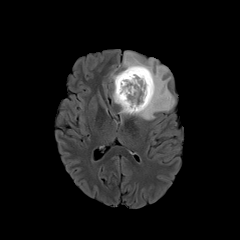
FLAIR MR image.
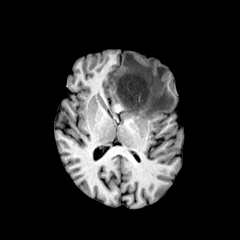
T1-weighted MR image.
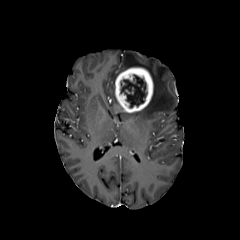
Post-contrast T1-weighted magnetic resonance.
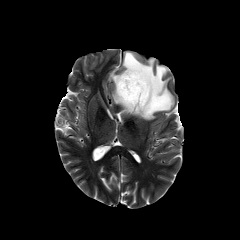
T2-weighted MR image.
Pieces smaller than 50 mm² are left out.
necrotic tumor core — x1=120, y1=75, x2=147, y2=107
peritumoral edema — x1=111, y1=51, x2=174, y2=120
enhancing tumor — x1=115, y1=67, x2=153, y2=112